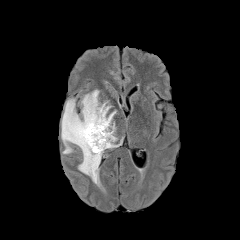
FLAIR MR image.
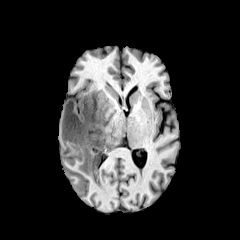
Same slice, T1-weighted MR image.
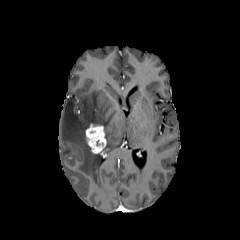
Same slice, post-contrast T1-weighted magnetic resonance.
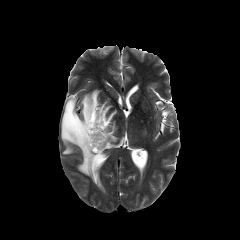
T2-weighted MR image.
Head.
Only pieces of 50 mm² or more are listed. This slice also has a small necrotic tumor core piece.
enhancing tumor: box(85, 124, 106, 154) | peritumoral edema: box(61, 90, 119, 186)